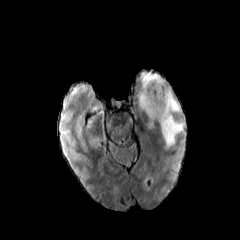
FLAIR MR image.
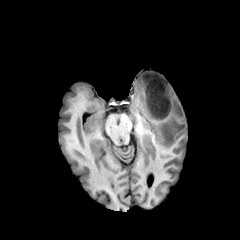
T1-weighted MRI.
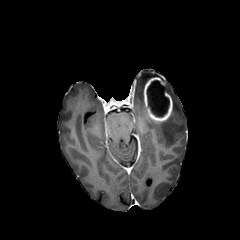
Post-contrast T1-weighted MR of the same slice.
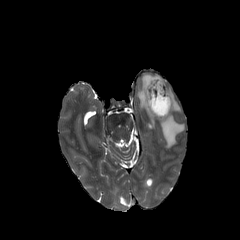
T2-weighted MRI.
Axial view | Image size 240x240
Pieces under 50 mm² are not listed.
enhancing_tumor:
  - <box>143,77,172,121</box>
peritumoral_edema:
  - <box>158,86,184,147</box>
  - <box>137,72,159,110</box>
necrotic_tumor_core:
  - <box>147,80,169,116</box>